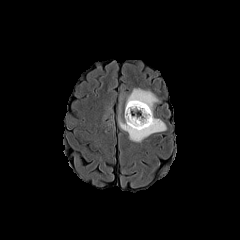
FLAIR magnetic resonance.
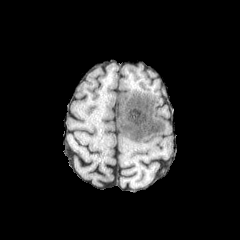
T1-weighted MRI.
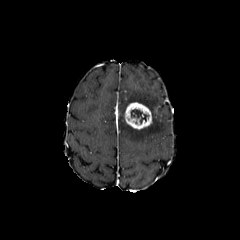
Same slice, post-contrast T1-weighted MRI.
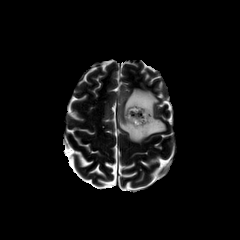
T2-weighted MRI of the same slice.
Brain.
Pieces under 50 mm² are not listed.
Segmented structures:
* enhancing tumor: x1=124 y1=102 x2=152 y2=129
* peritumoral edema: x1=119 y1=88 x2=166 y2=142
* necrotic tumor core: x1=131 y1=109 x2=148 y2=123